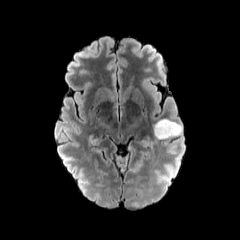
FLAIR MR image.
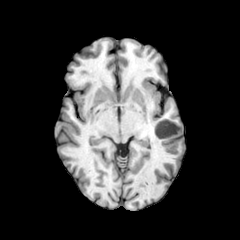
T1-weighted MR image of the same slice.
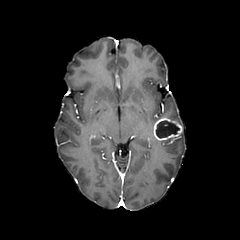
Post-contrast T1-weighted MRI.
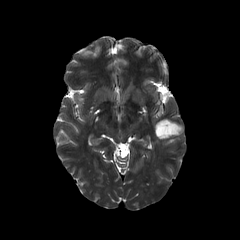
T2-weighted MR image of the same slice.
Brain | Axial slice | 240x240
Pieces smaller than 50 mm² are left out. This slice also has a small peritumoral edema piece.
{"necrotic_tumor_core": ["left=156, top=120, right=179, bottom=138"], "enhancing_tumor": ["left=153, top=118, right=182, bottom=140"]}